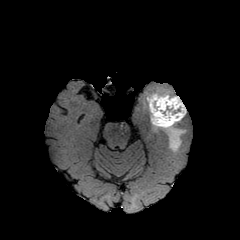
FLAIR MRI.
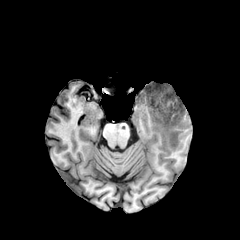
T1-weighted MR image of the same slice.
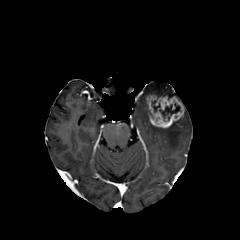
Post-contrast T1-weighted MR of the same slice.
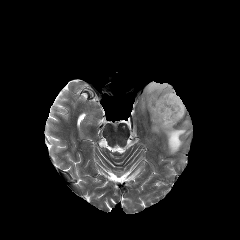
Same slice, T2-weighted MR image.
Axial slice.
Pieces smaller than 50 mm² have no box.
The 2 largest peritumoral edema regions are bounded by 147:85:173:99, 160:116:185:152. The 2 largest necrotic tumor core regions are located at 159:103:180:118, 152:100:160:111. The enhancing tumor appears at 146:95:184:128.